Head; Image width 240 mm
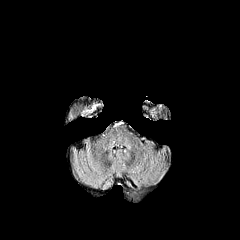
FLAIR MR.
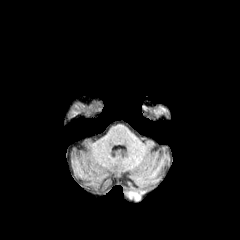
T1-weighted magnetic resonance of the same slice.
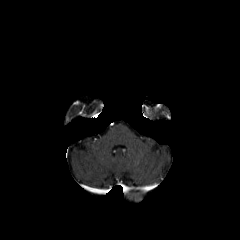
Post-contrast T1-weighted MR image.
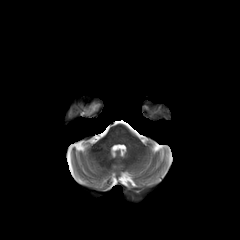
T2-weighted MR image.
Annotated regions:
* peritumoral edema: <bbox>86, 103, 98, 113</bbox>